Slice 84 of 155 | 240x240 | Head
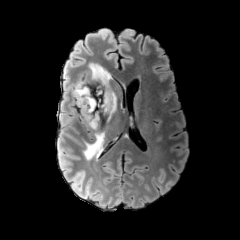
FLAIR MR image.
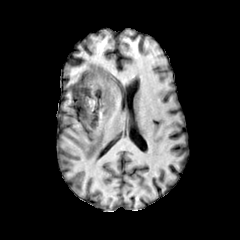
T1-weighted magnetic resonance of the same slice.
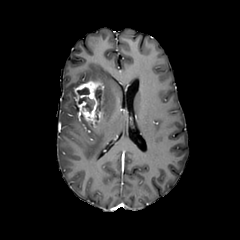
Post-contrast T1-weighted MRI of the same slice.
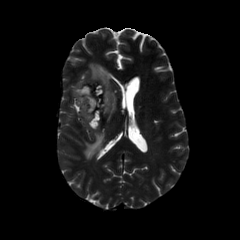
T2-weighted MR.
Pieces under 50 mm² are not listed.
{
  "peritumoral_edema": [
    "box=[74, 63, 117, 121]",
    "box=[83, 132, 104, 159]"
  ],
  "necrotic_tumor_core": [
    "box=[95, 89, 101, 100]",
    "box=[78, 97, 94, 112]",
    "box=[77, 87, 89, 95]"
  ],
  "enhancing_tumor": [
    "box=[74, 78, 104, 127]"
  ]
}